FLAIR MR image.
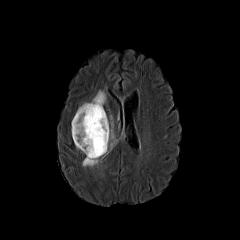
T1-weighted MR.
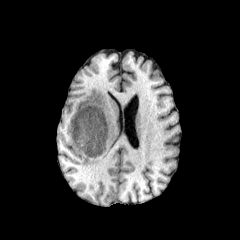
Post-contrast T1-weighted MRI.
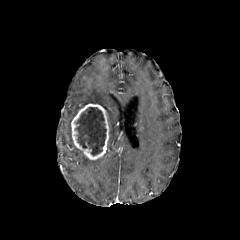
T2-weighted magnetic resonance.
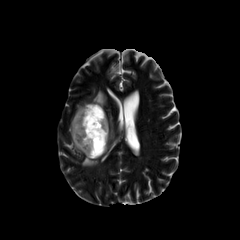
Brain
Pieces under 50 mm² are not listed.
The 2 largest peritumoral edema regions are located at [x1=83, y1=90, x2=106, y2=106], [x1=82, y1=115, x2=115, y2=166]. The necrotic tumor core is bounded by [x1=75, y1=107, x2=106, y2=155]. The enhancing tumor is bounded by [x1=71, y1=103, x2=109, y2=159].